240x240. Head.
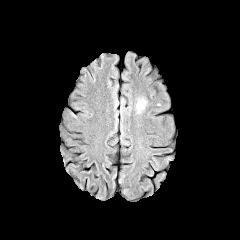
FLAIR MR.
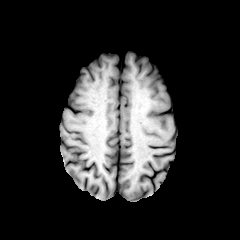
Same slice, T1-weighted MR image.
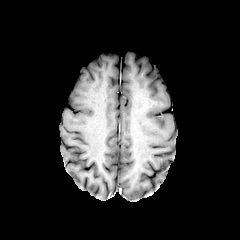
Post-contrast T1-weighted MR image.
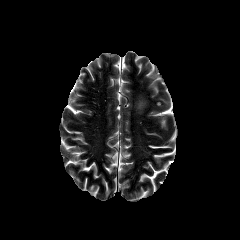
T2-weighted MR.
Segmented structures:
* peritumoral edema: box(136, 98, 146, 112)